Slice 51/155; Head
FLAIR MR image.
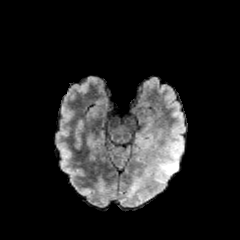
T1-weighted MR.
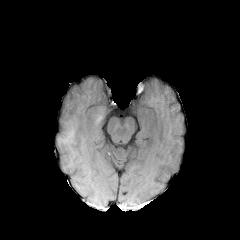
Post-contrast T1-weighted MR image.
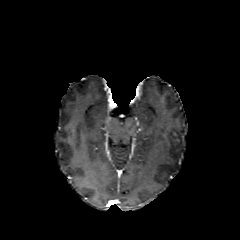
T2-weighted MR.
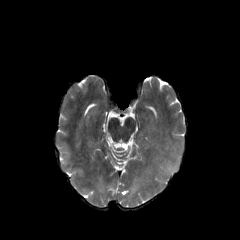
The peritumoral edema lies within 157:137:185:182.